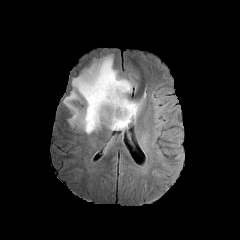
FLAIR magnetic resonance.
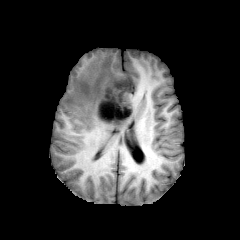
T1-weighted MR.
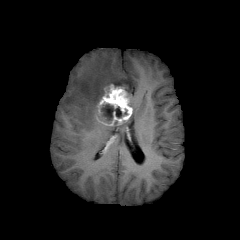
Same slice, post-contrast T1-weighted MR.
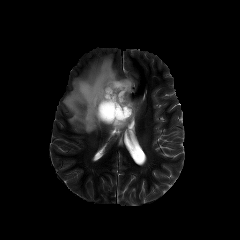
Same slice, T2-weighted MRI.
Brain
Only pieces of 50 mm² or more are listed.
Annotated regions:
• enhancing tumor: 95,84,132,125
• peritumoral edema: 63,55,133,133; 106,99,142,130
• necrotic tumor core: 101,104,122,120